FLAIR MR image.
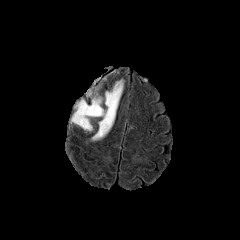
T1-weighted MR image.
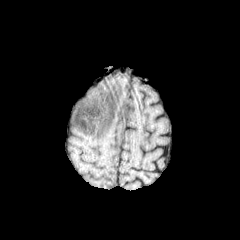
Post-contrast T1-weighted MR.
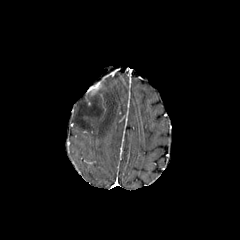
T2-weighted MR.
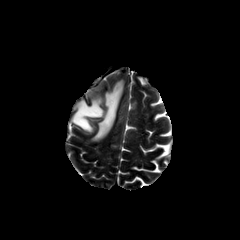
Image size 240x240
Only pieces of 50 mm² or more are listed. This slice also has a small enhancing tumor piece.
The largest peritumoral edema region is at (left=71, top=78, right=125, bottom=140).